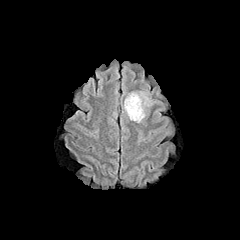
FLAIR MR.
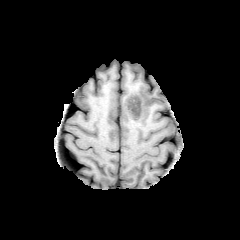
Same slice, T1-weighted magnetic resonance.
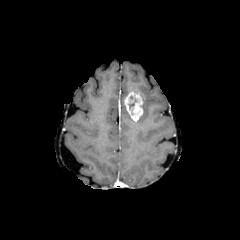
Same slice, post-contrast T1-weighted magnetic resonance.
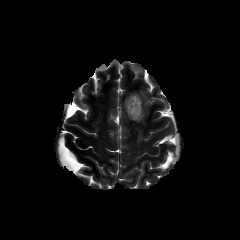
Same slice, T2-weighted MR.
Axial slice; Head
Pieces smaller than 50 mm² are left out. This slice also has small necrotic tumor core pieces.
peritumoral_edema:
  - [135, 91, 153, 122]
enhancing_tumor:
  - [124, 92, 142, 121]